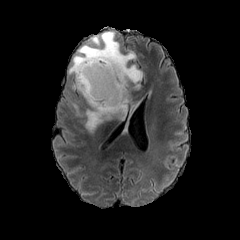
FLAIR MR.
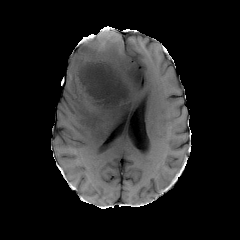
T1-weighted MR of the same slice.
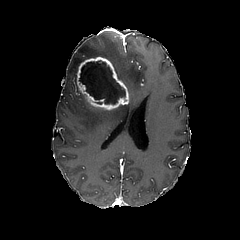
Same slice, post-contrast T1-weighted MRI.
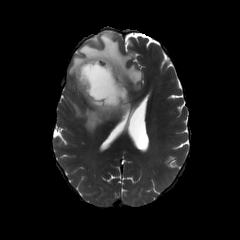
Same slice, T2-weighted MR.
Head, 240x240
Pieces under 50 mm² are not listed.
enhancing_tumor:
  - bbox=[76, 56, 129, 110]
necrotic_tumor_core:
  - bbox=[79, 61, 125, 103]
peritumoral_edema:
  - bbox=[68, 31, 142, 92]
  - bbox=[71, 92, 131, 131]